FLAIR MRI.
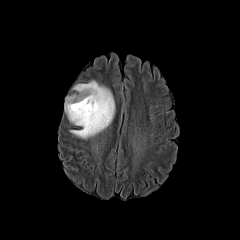
T1-weighted MR image.
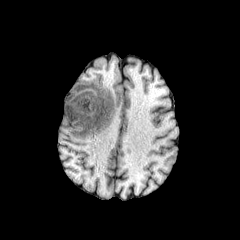
Post-contrast T1-weighted magnetic resonance.
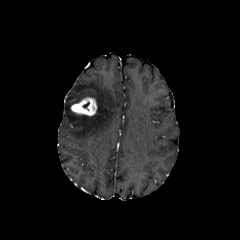
T2-weighted magnetic resonance.
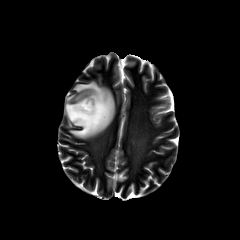
Brain
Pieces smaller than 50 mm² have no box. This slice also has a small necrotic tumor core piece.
The enhancing tumor is located at l=70, t=97, r=97, b=116. The peritumoral edema appears at l=64, t=80, r=115, b=139.